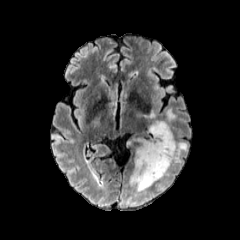
FLAIR MR image.
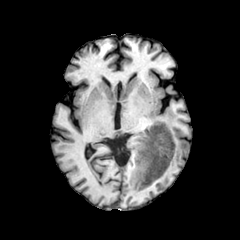
T1-weighted magnetic resonance.
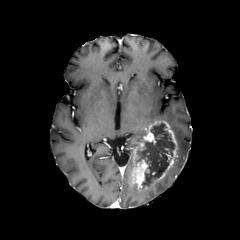
Same slice, post-contrast T1-weighted MRI.
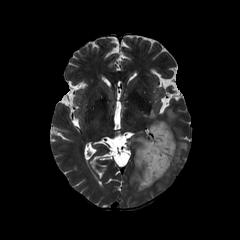
T2-weighted magnetic resonance.
Brain, Axial plane
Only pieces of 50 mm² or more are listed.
{
  "enhancing_tumor": [
    "[x1=130, y1=119, x2=178, y2=190]"
  ],
  "necrotic_tumor_core": [
    "[x1=137, y1=123, x2=174, y2=186]"
  ],
  "peritumoral_edema": [
    "[x1=174, y1=141, x2=188, y2=164]",
    "[x1=144, y1=111, x2=156, y2=120]",
    "[x1=165, y1=109, x2=176, y2=125]"
  ]
}